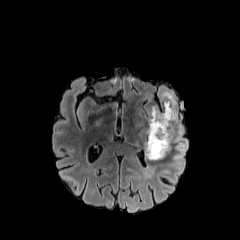
FLAIR MR.
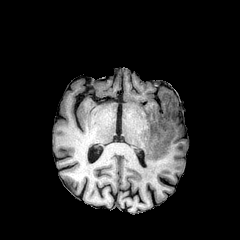
T1-weighted magnetic resonance.
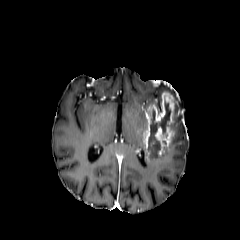
Post-contrast T1-weighted MRI of the same slice.
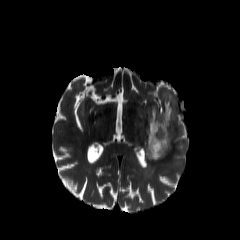
T2-weighted MR.
Brain. Axial plane. 240x240 px.
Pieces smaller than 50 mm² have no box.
The largest necrotic tumor core region is located at <bbox>148, 102, 170, 157</bbox>. The largest enhancing tumor region appears at <bbox>143, 91, 177, 160</bbox>. The peritumoral edema is located at <bbox>146, 84, 188, 172</bbox>.